Axial slice.
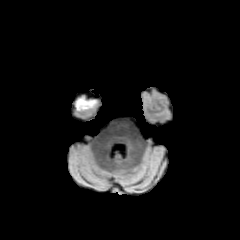
FLAIR MR image.
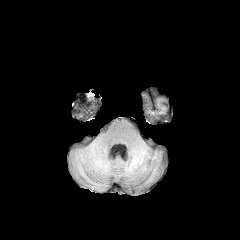
T1-weighted MRI.
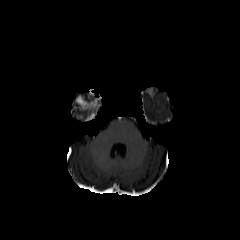
Post-contrast T1-weighted magnetic resonance of the same slice.
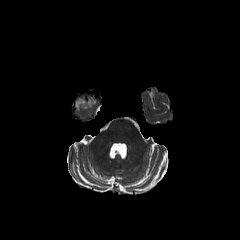
T2-weighted MR image.
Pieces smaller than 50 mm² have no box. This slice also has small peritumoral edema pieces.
Findings:
* enhancing tumor: 76, 96, 96, 110